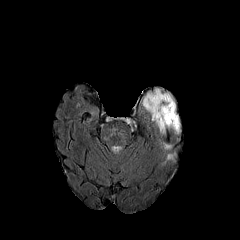
FLAIR MRI.
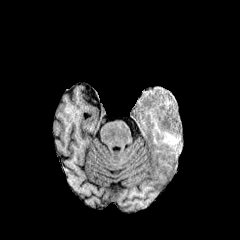
T1-weighted magnetic resonance.
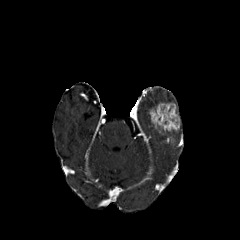
Same slice, post-contrast T1-weighted MR.
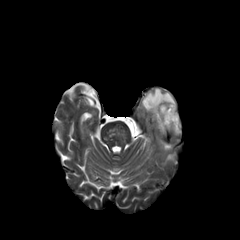
T2-weighted MR.
Axial plane | Brain | 240x240 px
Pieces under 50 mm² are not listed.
<segmentation>
  <peritumoral_edema>{"x1": 142, "y1": 88, "x2": 174, "y2": 112}</peritumoral_edema>
  <enhancing_tumor>{"x1": 149, "y1": 102, "x2": 180, "y2": 132}</enhancing_tumor>
</segmentation>